FLAIR magnetic resonance.
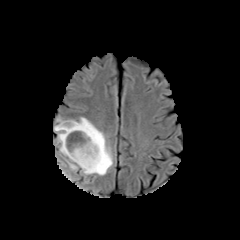
T1-weighted MRI.
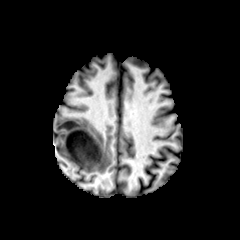
Post-contrast T1-weighted MR.
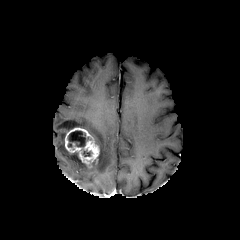
T2-weighted MRI.
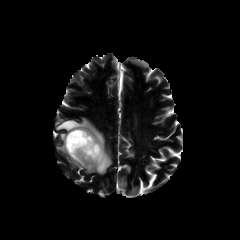
Brain, 240x240 px
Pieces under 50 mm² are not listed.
The peritumoral edema lies within x1=54 y1=117 x2=112 y2=175. The enhancing tumor lies within x1=64 y1=126 x2=100 y2=168. The largest necrotic tumor core region is located at x1=68 y1=131 x2=88 y2=147.